FLAIR MR.
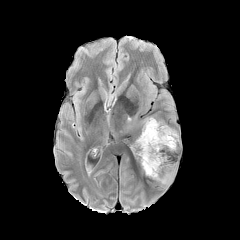
T1-weighted MR image.
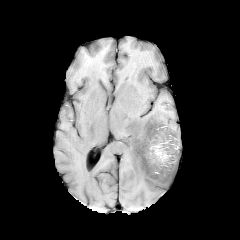
Post-contrast T1-weighted MRI.
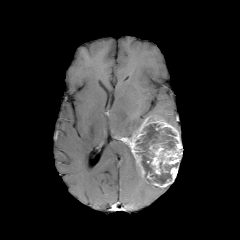
T2-weighted magnetic resonance.
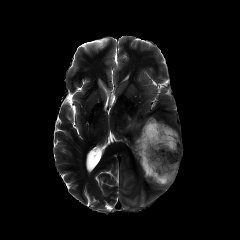
Brain.
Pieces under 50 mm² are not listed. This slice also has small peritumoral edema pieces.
• necrotic tumor core: x1=137, y1=123, x2=177, y2=183
• enhancing tumor: x1=128, y1=117, x2=182, y2=187